FLAIR MRI.
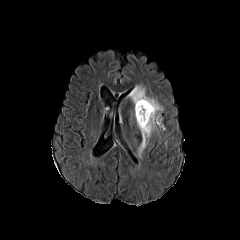
T1-weighted MRI.
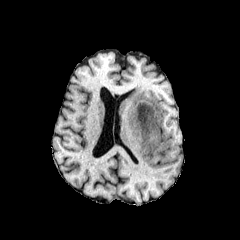
Post-contrast T1-weighted magnetic resonance.
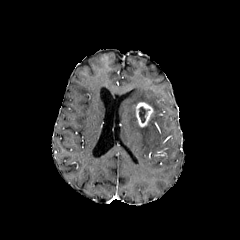
T2-weighted MRI.
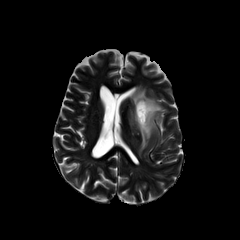
240x240; Axial plane; Head
The peritumoral edema is at <box>129,85,164,157</box>. The necrotic tumor core is located at <box>139,106,149,122</box>. The enhancing tumor appears at <box>136,102,153,126</box>.